FLAIR MR image.
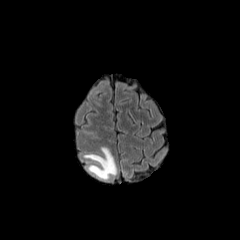
T1-weighted magnetic resonance.
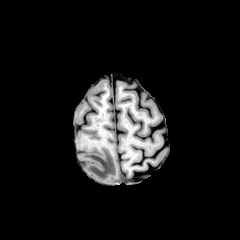
Post-contrast T1-weighted MR.
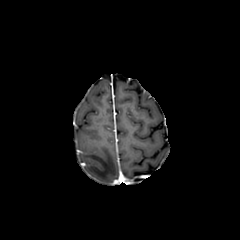
T2-weighted MRI.
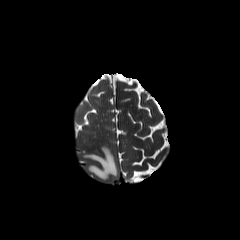
Brain
peritumoral_edema:
  - 84, 147, 116, 180